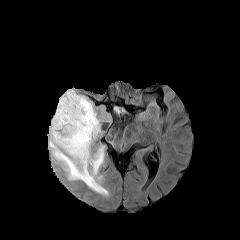
FLAIR MR image.
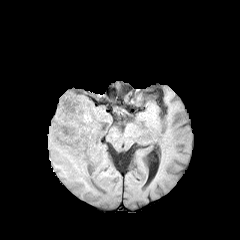
T1-weighted MR of the same slice.
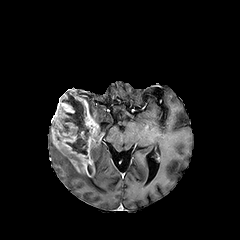
Post-contrast T1-weighted MRI.
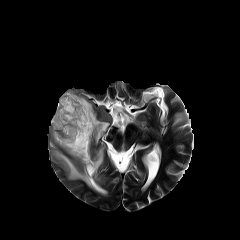
Same slice, T2-weighted MR.
Axial slice. 240x240 px. Brain.
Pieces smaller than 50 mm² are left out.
enhancing tumor = [51,89,101,177]
peritumoral edema = [49,127,107,195], [79,95,101,134]
necrotic tumor core = [62,92,89,155]